Slice 91/155; Image width 240 mm; Brain; 240x240 px
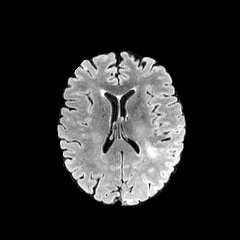
FLAIR magnetic resonance.
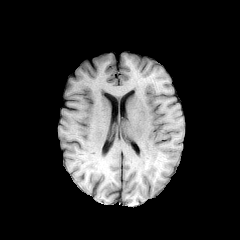
T1-weighted MR image of the same slice.
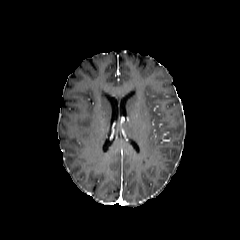
Post-contrast T1-weighted magnetic resonance.
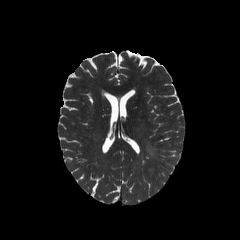
Same slice, T2-weighted magnetic resonance.
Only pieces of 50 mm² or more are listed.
peritumoral edema: (146,141,158,158)